FLAIR MR image.
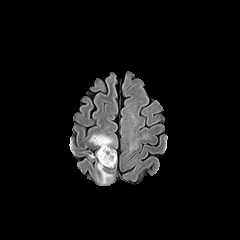
T1-weighted MR.
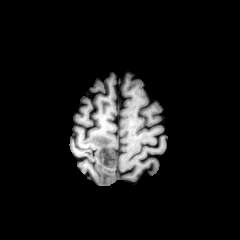
Post-contrast T1-weighted magnetic resonance.
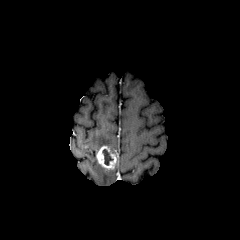
T2-weighted magnetic resonance.
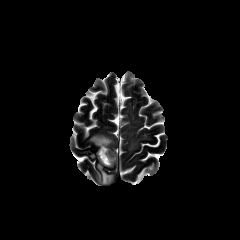
240x240
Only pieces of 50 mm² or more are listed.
peritumoral edema — left=89, top=134, right=114, bottom=147; left=96, top=163, right=113, bottom=184
necrotic tumor core — left=103, top=149, right=113, bottom=165
enhancing tumor — left=96, top=145, right=116, bottom=168